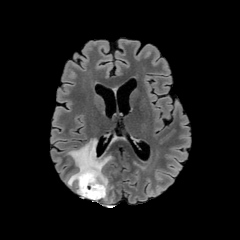
FLAIR MR image.
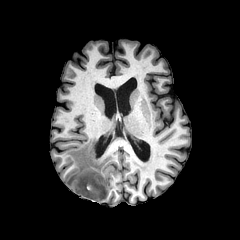
T1-weighted MRI of the same slice.
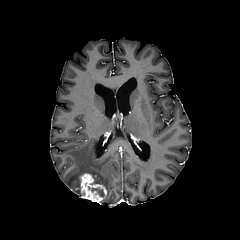
Post-contrast T1-weighted MRI of the same slice.
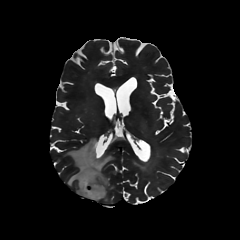
T2-weighted MRI of the same slice.
Head, Axial slice
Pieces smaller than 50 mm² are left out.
{
  "enhancing_tumor": [
    "[x1=79, y1=173, x2=106, y2=202]"
  ],
  "peritumoral_edema": [
    "[x1=65, y1=138, x2=112, y2=202]"
  ],
  "necrotic_tumor_core": [
    "[x1=91, y1=188, x2=103, y2=197]"
  ]
}